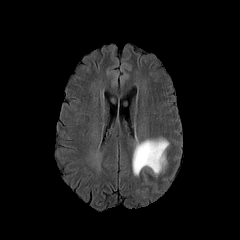
FLAIR MRI.
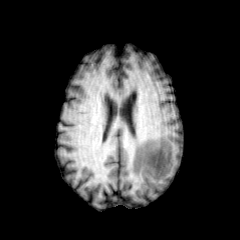
Same slice, T1-weighted MR image.
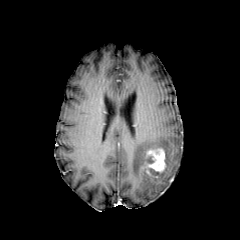
Same slice, post-contrast T1-weighted MRI.
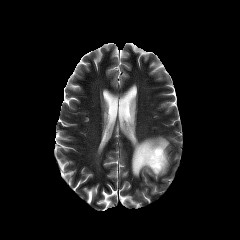
Same slice, T2-weighted MRI.
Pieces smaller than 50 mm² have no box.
enhancing tumor at region(142, 148, 165, 172)
peritumoral edema at region(132, 137, 169, 176)